Brain | Image size 240x240
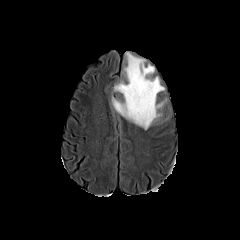
FLAIR MR image.
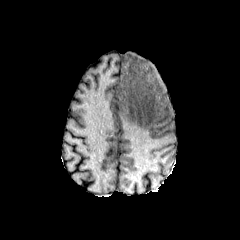
T1-weighted magnetic resonance.
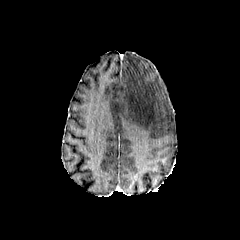
Same slice, post-contrast T1-weighted MRI.
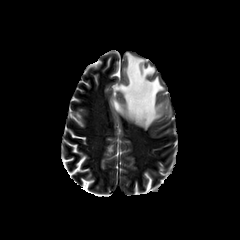
Same slice, T2-weighted magnetic resonance.
peritumoral edema = 111:52:166:129